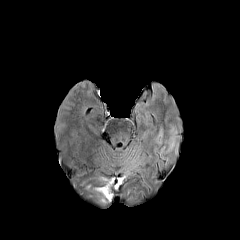
FLAIR MR image.
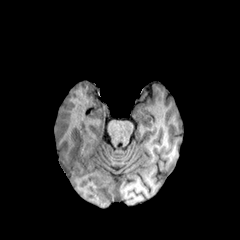
Same slice, T1-weighted MRI.
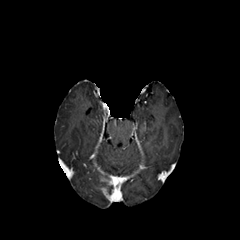
Post-contrast T1-weighted MR of the same slice.
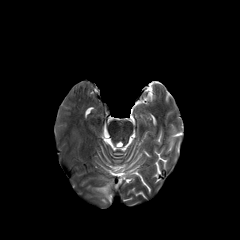
T2-weighted MR image.
Head, Axial plane
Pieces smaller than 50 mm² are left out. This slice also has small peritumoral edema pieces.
enhancing_tumor:
  - (99, 187, 114, 201)
  - (102, 178, 118, 189)